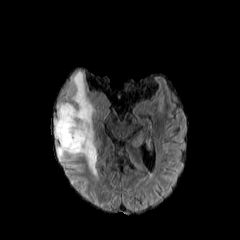
FLAIR MR.
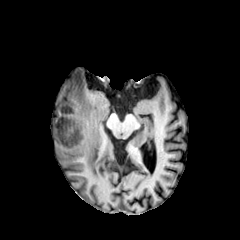
T1-weighted MR image.
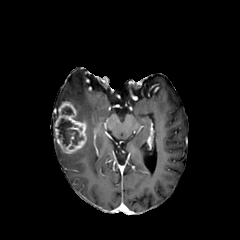
Post-contrast T1-weighted MR of the same slice.
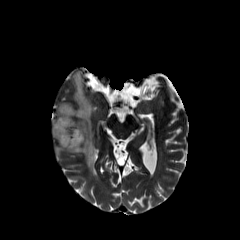
T2-weighted MR.
Image size 240x240, Head
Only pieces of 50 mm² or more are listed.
<segmentation>
  <peritumoral_edema>region(56, 71, 97, 176)</peritumoral_edema>
  <enhancing_tumor>region(54, 101, 86, 154)</enhancing_tumor>
  <necrotic_tumor_core>region(62, 107, 72, 114); region(57, 118, 82, 146)</necrotic_tumor_core>
</segmentation>